Image covers 240 mm x 240 mm; Head; Axial plane
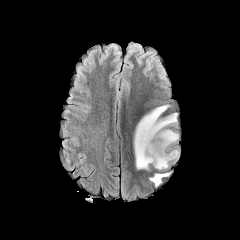
FLAIR MRI.
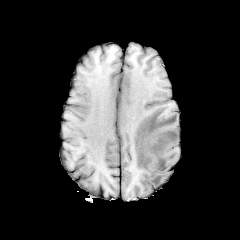
T1-weighted magnetic resonance.
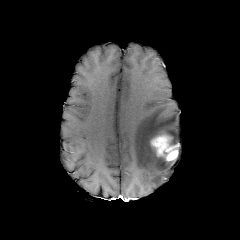
Post-contrast T1-weighted MRI of the same slice.
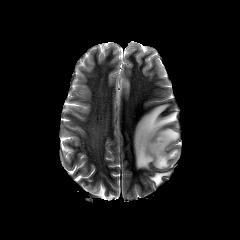
T2-weighted MRI of the same slice.
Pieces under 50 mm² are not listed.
peritumoral edema: {"x1": 149, "y1": 172, "x2": 170, "y2": 186}, {"x1": 134, "y1": 104, "x2": 179, "y2": 170} | enhancing tumor: {"x1": 150, "y1": 132, "x2": 178, "y2": 163}